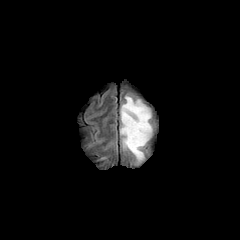
FLAIR magnetic resonance.
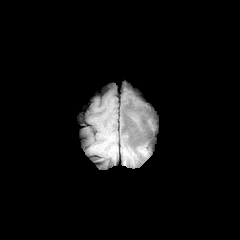
T1-weighted MRI of the same slice.
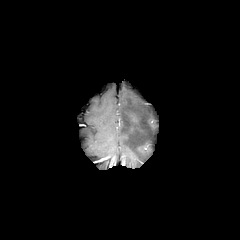
Post-contrast T1-weighted MRI.
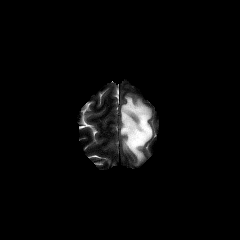
T2-weighted MR.
Axial slice; 240x240
peritumoral edema: bounding box <bbox>120, 94, 152, 163</bbox>